FLAIR MR image.
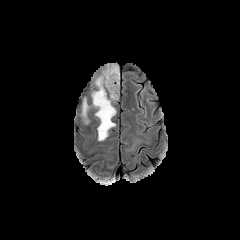
T1-weighted MR.
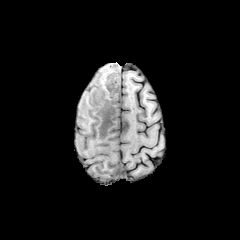
Post-contrast T1-weighted MR image.
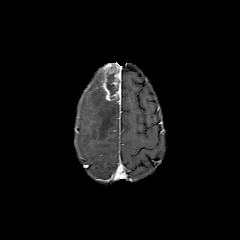
T2-weighted magnetic resonance.
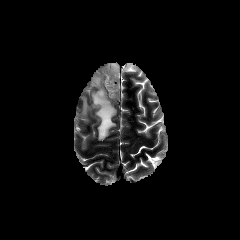
Brain
peritumoral_edema:
  - x1=80 y1=98 x2=89 y2=123
  - x1=91 y1=74 x2=116 y2=140
enhancing_tumor:
  - x1=101 y1=63 x2=120 y2=100
necrotic_tumor_core:
  - x1=107 y1=73 x2=117 y2=95